Image covers 240 mm x 240 mm, Head, Slice index 138
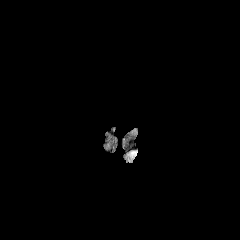
FLAIR MR image.
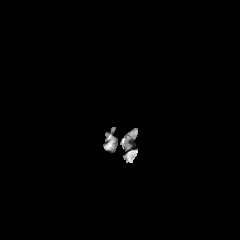
T1-weighted MR of the same slice.
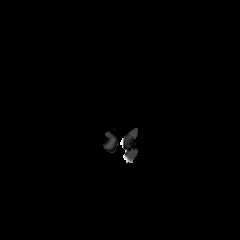
Post-contrast T1-weighted MRI of the same slice.
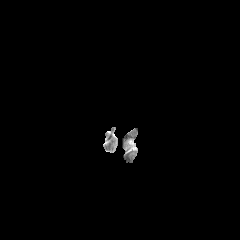
T2-weighted MR.
peritumoral edema — box(124, 151, 137, 162)